FLAIR MR image.
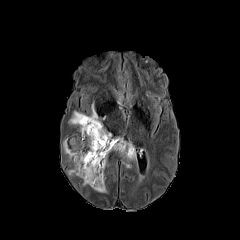
T1-weighted MR image.
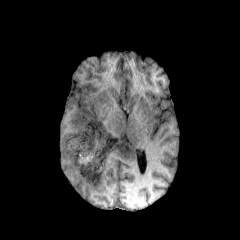
Post-contrast T1-weighted MR.
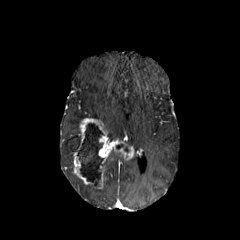
T2-weighted MR.
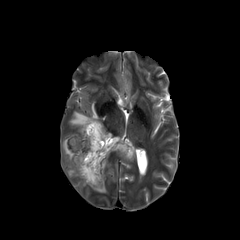
Axial plane
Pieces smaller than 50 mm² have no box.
<segmentation>
  <enhancing_tumor>[x1=72, y1=118, x2=135, y2=188]</enhancing_tumor>
  <peritumoral_edema>[x1=63, y1=136, x2=80, y2=162], [x1=69, y1=103, x2=99, y2=125], [x1=90, y1=181, x2=106, y2=192]</peritumoral_edema>
  <necrotic_tumor_core>[x1=77, y1=123, x2=103, y2=186]</necrotic_tumor_core>
</segmentation>